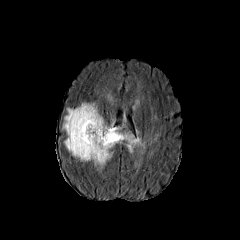
FLAIR magnetic resonance.
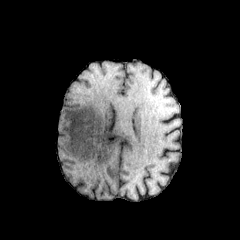
T1-weighted magnetic resonance.
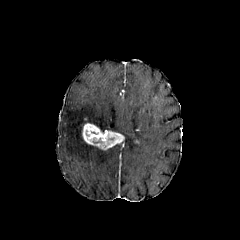
Same slice, post-contrast T1-weighted magnetic resonance.
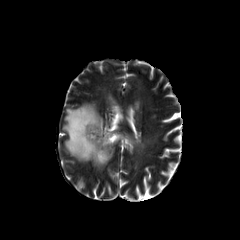
T2-weighted MR image of the same slice.
Image size 240x240.
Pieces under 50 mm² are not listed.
Annotated regions:
* peritumoral edema: rect(123, 128, 146, 152); rect(62, 102, 126, 172)
* enhancing tumor: rect(82, 122, 124, 150)